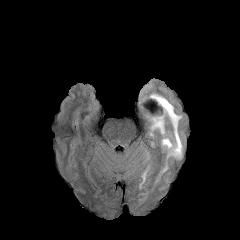
FLAIR MR.
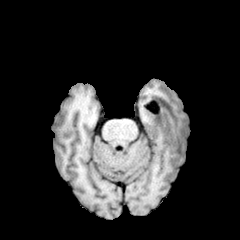
T1-weighted MR image.
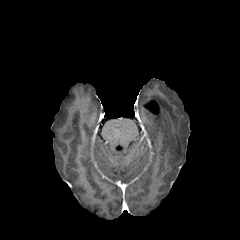
Same slice, post-contrast T1-weighted magnetic resonance.
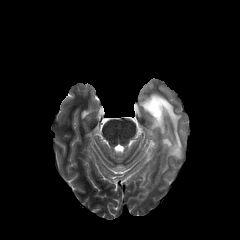
T2-weighted MRI.
Brain | Image size 240x240 | Axial slice
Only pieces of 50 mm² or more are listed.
peritumoral edema: <bbox>150, 93, 182, 159</bbox>